Image covers 240 mm x 240 mm | Axial slice
FLAIR MR image.
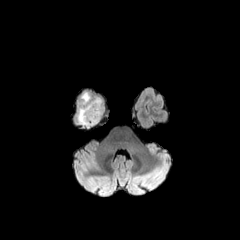
T1-weighted MRI.
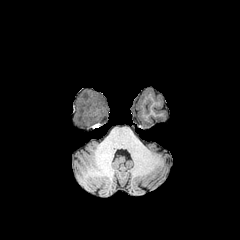
Post-contrast T1-weighted MR image.
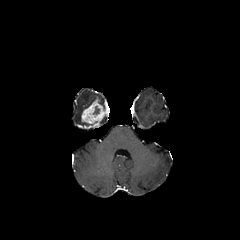
T2-weighted MR.
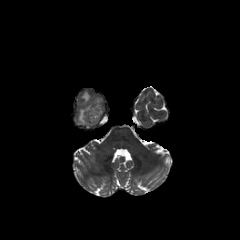
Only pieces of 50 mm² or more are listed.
<segmentation>
  <necrotic_tumor_core>left=89, top=105, right=100, bottom=116</necrotic_tumor_core>
  <peritumoral_edema>left=75, top=91, right=105, bottom=126</peritumoral_edema>
  <enhancing_tumor>left=80, top=99, right=104, bottom=128</enhancing_tumor>
</segmentation>